Image width 240 mm | Head
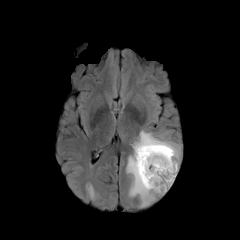
FLAIR MR.
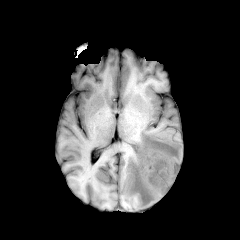
T1-weighted MR image.
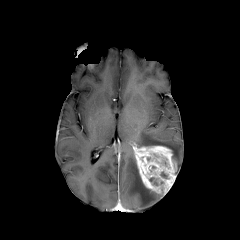
Post-contrast T1-weighted MRI.
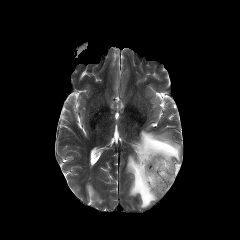
T2-weighted magnetic resonance.
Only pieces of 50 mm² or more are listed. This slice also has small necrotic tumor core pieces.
peritumoral edema = box(126, 153, 164, 209); box(133, 130, 180, 170)
enhancing tumor = box(133, 144, 177, 194)